Slice 134/155, 240x240
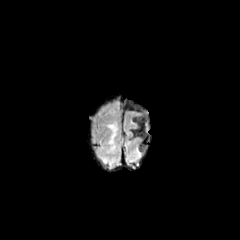
FLAIR magnetic resonance.
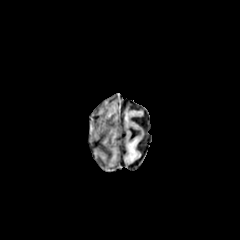
Same slice, T1-weighted magnetic resonance.
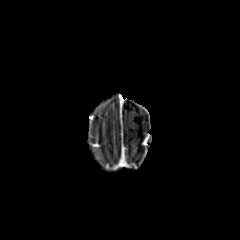
Post-contrast T1-weighted magnetic resonance of the same slice.
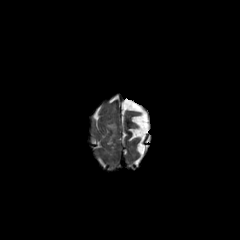
T2-weighted MR image.
peritumoral edema — {"x1": 107, "y1": 124, "x2": 116, "y2": 131}